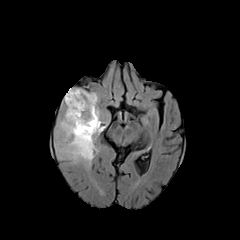
FLAIR MR image.
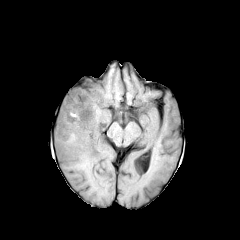
T1-weighted MR.
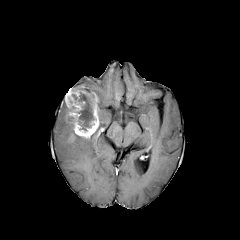
Post-contrast T1-weighted MR of the same slice.
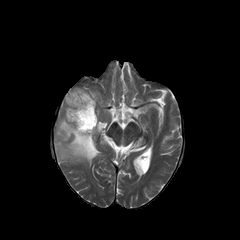
T2-weighted MRI.
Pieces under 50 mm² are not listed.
necrotic tumor core: 78 92 94 122 | peritumoral edema: 55 107 105 164 | enhancing tumor: 65 88 99 138